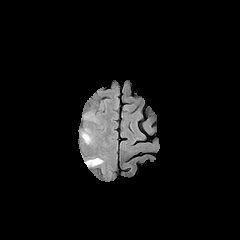
FLAIR magnetic resonance.
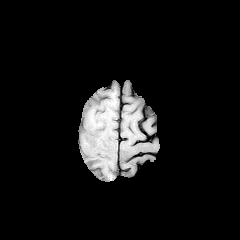
T1-weighted MRI.
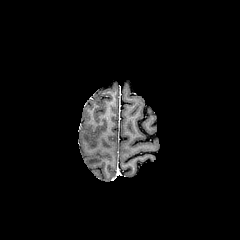
Post-contrast T1-weighted magnetic resonance.
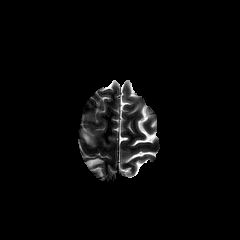
T2-weighted MRI of the same slice.
Brain; 240x240
peritumoral edema: 85,158,102,165; 82,133,91,143